FLAIR MR.
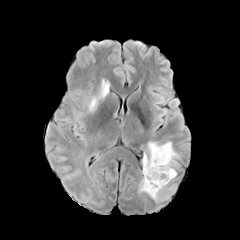
T1-weighted MR image.
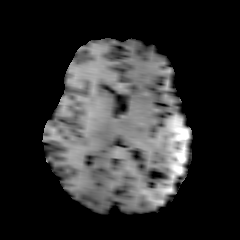
Post-contrast T1-weighted MRI.
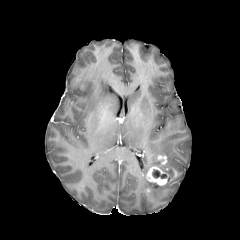
T2-weighted MRI.
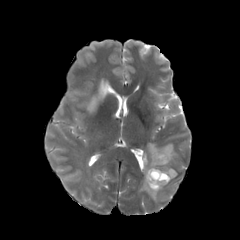
240x240 px
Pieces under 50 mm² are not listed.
Segmented structures:
* necrotic tumor core: 152:170:166:178
* peritumoral edema: 86:79:109:112, 139:141:180:200
* enhancing tumor: 146:166:168:186, 157:155:167:164